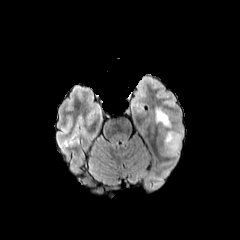
FLAIR magnetic resonance.
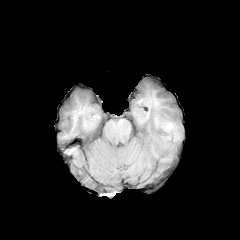
T1-weighted MR image.
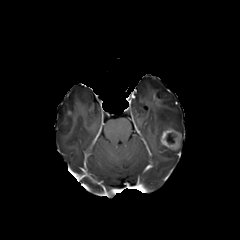
Post-contrast T1-weighted magnetic resonance.
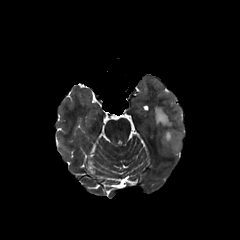
T2-weighted MR.
Brain
peritumoral edema at (x1=164, y1=146, x2=180, y2=154), (x1=155, y1=108, x2=182, y2=138)
enhancing tumor at (x1=160, y1=128, x2=181, y2=150)
necrotic tumor core at (x1=166, y1=133, x2=175, y2=143)